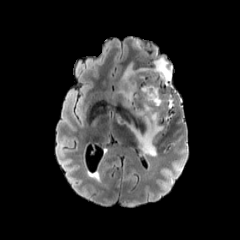
FLAIR MR.
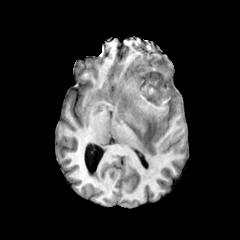
T1-weighted MR of the same slice.
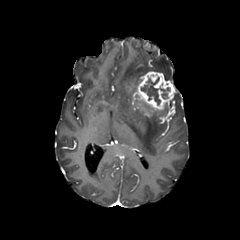
Post-contrast T1-weighted MR image of the same slice.
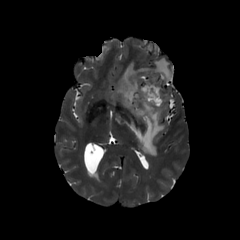
T2-weighted MRI of the same slice.
Axial plane. Head.
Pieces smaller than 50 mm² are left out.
enhancing tumor: left=135, top=71, right=175, bottom=110 | necrotic tumor core: left=141, top=77, right=160, bottom=105; left=160, top=88, right=169, bottom=98 | peritumoral edema: left=118, top=56, right=172, bottom=156